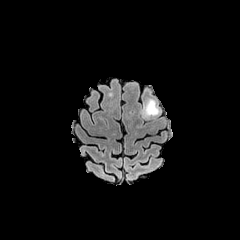
FLAIR MR image.
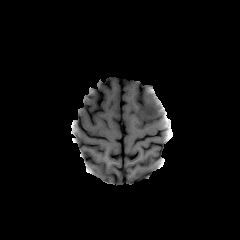
T1-weighted MR.
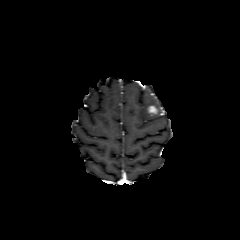
Post-contrast T1-weighted magnetic resonance.
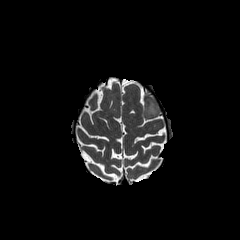
T2-weighted MRI of the same slice.
Axial plane, Brain
enhancing_tumor:
  - bbox(148, 105, 157, 113)
peritumoral_edema:
  - bbox(142, 99, 159, 115)